240x240 px.
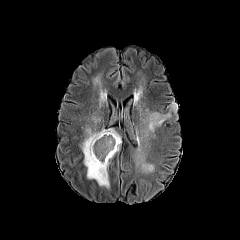
FLAIR MRI.
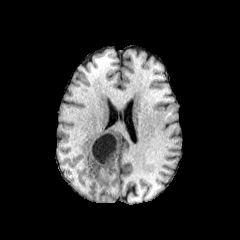
T1-weighted MR of the same slice.
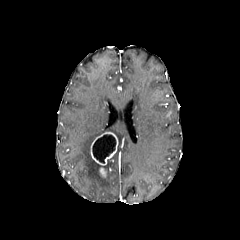
Same slice, post-contrast T1-weighted MRI.
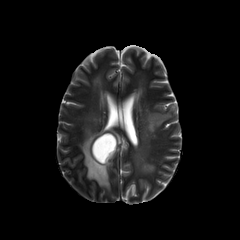
T2-weighted MRI of the same slice.
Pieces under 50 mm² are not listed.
The necrotic tumor core is bounded by x1=92 y1=134 x2=115 y2=163. The 3 largest peritumoral edema regions are located at x1=145 y1=163 x2=154 y2=171, x1=142 y1=112 x2=170 y2=135, x1=81 y1=126 x2=121 y2=188. 2 enhancing tumor regions appear at x1=90 y1=132 x2=118 y2=165, x1=99 y1=167 x2=106 y2=177.